FLAIR magnetic resonance.
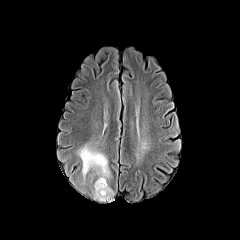
T1-weighted MR image.
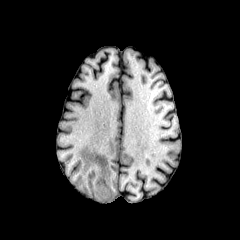
Post-contrast T1-weighted MR image.
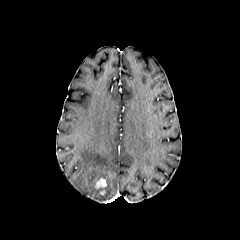
T2-weighted MR.
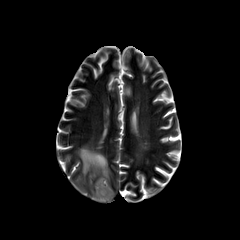
240x240 px.
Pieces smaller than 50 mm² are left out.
enhancing tumor at 95:178:106:188
peritumoral edema at 78:145:113:201